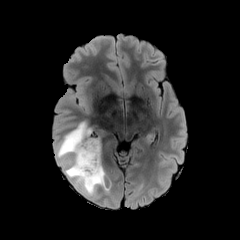
FLAIR MR.
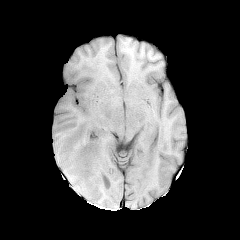
Same slice, T1-weighted MR image.
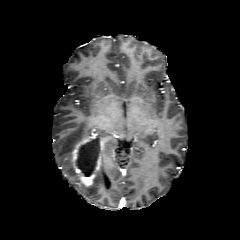
Same slice, post-contrast T1-weighted magnetic resonance.
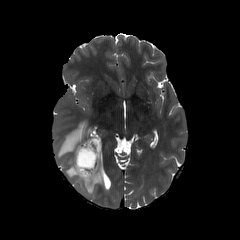
T2-weighted MRI.
Image size 240x240 | Brain
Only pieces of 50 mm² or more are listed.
The enhancing tumor appears at bbox(71, 137, 103, 188). The necrotic tumor core is at bbox(75, 136, 100, 176). The largest peritumoral edema region is at bbox(56, 121, 108, 198).